Slice index 107.
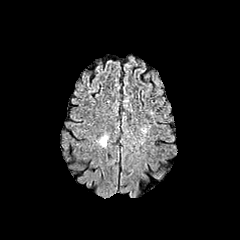
FLAIR MR.
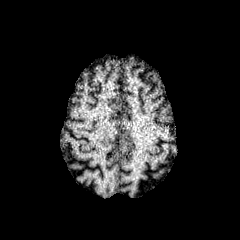
Same slice, T1-weighted MRI.
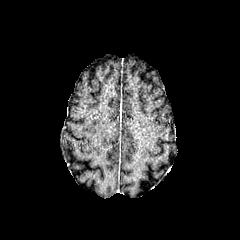
Post-contrast T1-weighted MR image of the same slice.
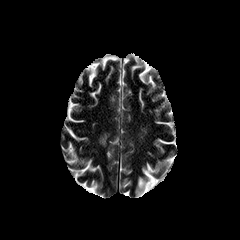
Same slice, T2-weighted magnetic resonance.
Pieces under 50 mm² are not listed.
<segmentation>
  <peritumoral_edema>99 134 108 147</peritumoral_edema>
</segmentation>